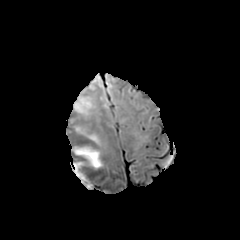
FLAIR MR.
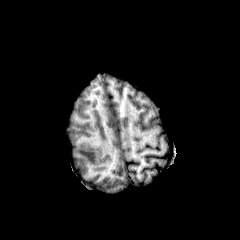
Same slice, T1-weighted MRI.
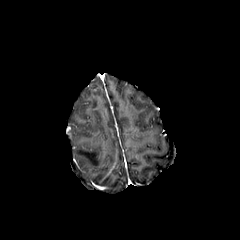
Post-contrast T1-weighted MR of the same slice.
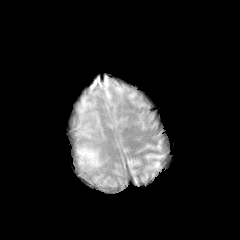
T2-weighted MRI.
Brain; Axial plane
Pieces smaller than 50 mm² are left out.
The largest peritumoral edema region appears at 75, 146, 101, 167.